FLAIR MR image.
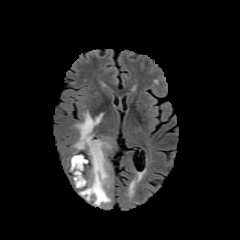
T1-weighted MRI.
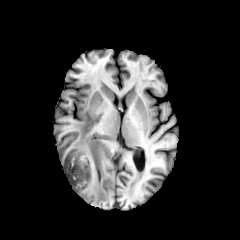
Post-contrast T1-weighted magnetic resonance.
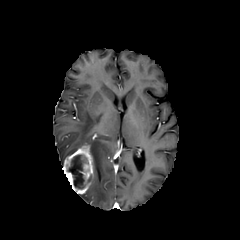
T2-weighted magnetic resonance.
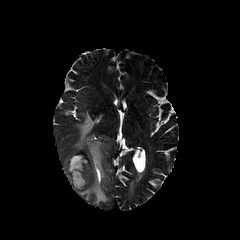
Brain
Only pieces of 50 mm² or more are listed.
The largest necrotic tumor core region appears at [67, 154, 86, 188]. The enhancing tumor lies within [63, 142, 93, 193]. The peritumoral edema is at [72, 111, 110, 205].